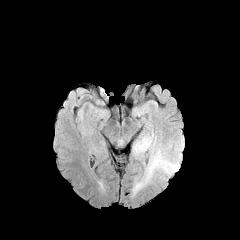
FLAIR magnetic resonance.
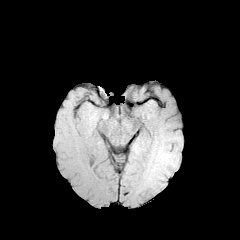
T1-weighted magnetic resonance of the same slice.
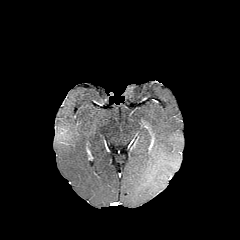
Same slice, post-contrast T1-weighted MR.
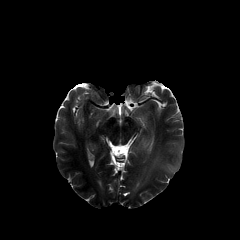
T2-weighted magnetic resonance of the same slice.
240x240.
{"peritumoral_edema": ["132 103 183 193"]}